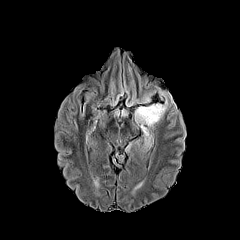
FLAIR magnetic resonance.
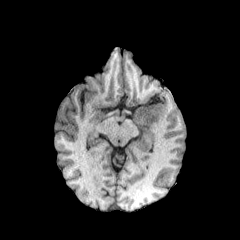
T1-weighted MRI.
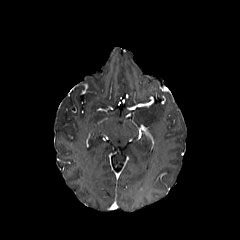
Post-contrast T1-weighted magnetic resonance.
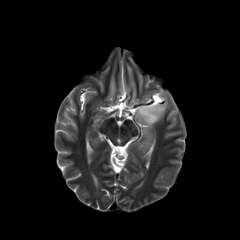
T2-weighted MRI.
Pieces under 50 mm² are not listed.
<segmentation>
  <peritumoral_edema>[142,93,150,102], [135,99,168,146]</peritumoral_edema>
</segmentation>